Image width 240 mm, 1.00 mm slice spacing. Head. 240x240 px. Slice 99/155.
FLAIR magnetic resonance.
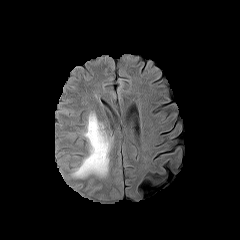
T1-weighted MR image.
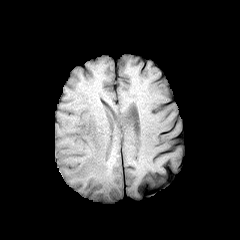
Post-contrast T1-weighted MR.
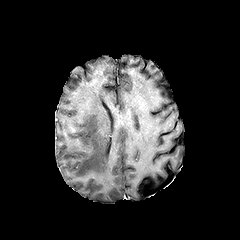
T2-weighted MR image.
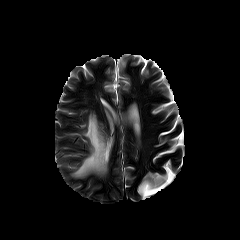
The peritumoral edema lies within (71, 113, 112, 177).